Head; Image width 240 mm, 1.00 mm slice spacing; Slice 77/155
FLAIR MR image.
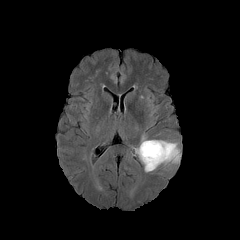
T1-weighted MR.
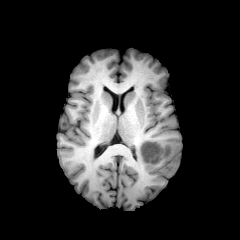
Post-contrast T1-weighted MR image.
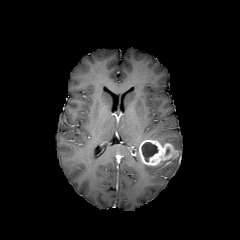
T2-weighted magnetic resonance.
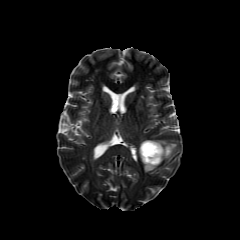
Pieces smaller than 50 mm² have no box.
enhancing tumor: bounding box 139, 140, 178, 165
peritumoral edema: bounding box 143, 140, 180, 172
necrotic tumor core: bounding box 142, 142, 157, 161